Axial view | Brain | Image size 240x240 | Image covers 240 mm x 240 mm
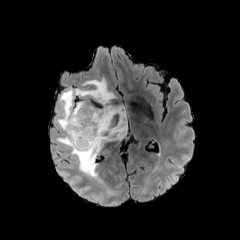
FLAIR MR.
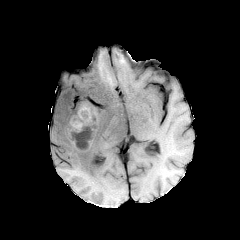
T1-weighted MR image of the same slice.
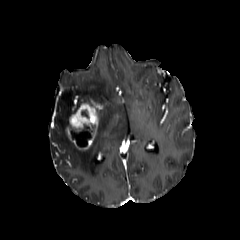
Same slice, post-contrast T1-weighted MR image.
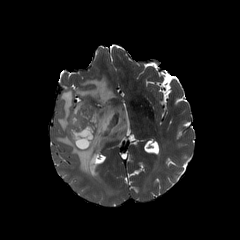
T2-weighted MR image.
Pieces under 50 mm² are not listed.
The largest necrotic tumor core region lies within (x1=68, y1=124, x2=93, y2=147). The largest peritumoral edema region is located at (x1=56, y1=77, x2=127, y2=177). The enhancing tumor appears at (x1=66, y1=103, x2=99, y2=150).